FLAIR magnetic resonance.
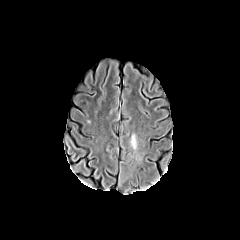
T1-weighted MR image.
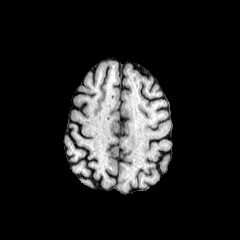
Post-contrast T1-weighted MRI.
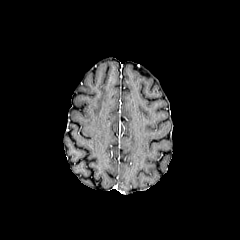
T2-weighted MR.
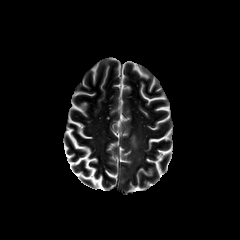
Head, Axial slice, 240x240
peritumoral edema — <box>131,135,136,148</box>